Slice 97/155, Axial view, Image covers 240 mm x 240 mm, Brain
FLAIR MR.
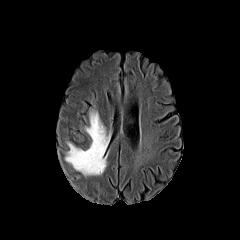
T1-weighted magnetic resonance.
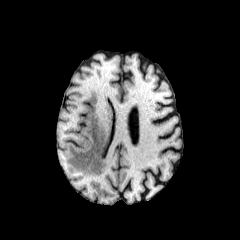
Post-contrast T1-weighted MRI.
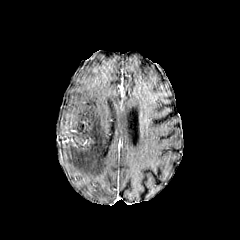
T2-weighted magnetic resonance.
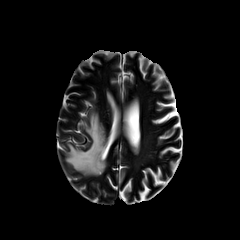
peritumoral edema — (66,110,109,175)